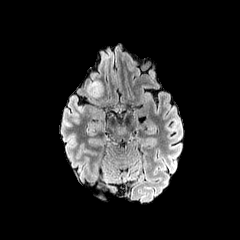
FLAIR MR.
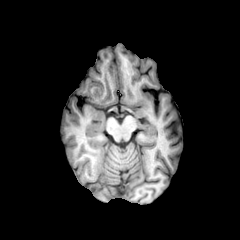
T1-weighted MR image.
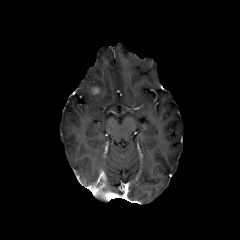
Post-contrast T1-weighted MR image.
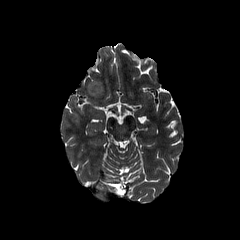
T2-weighted MRI of the same slice.
peritumoral edema: <bbox>87, 81, 103, 97</bbox> | enhancing tumor: <bbox>89, 86, 101, 95</bbox>